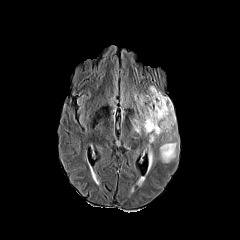
FLAIR MRI.
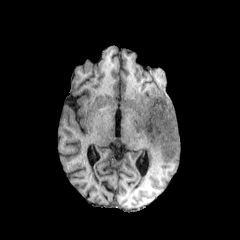
T1-weighted MR.
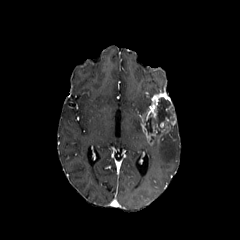
Post-contrast T1-weighted magnetic resonance of the same slice.
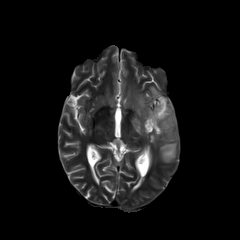
T2-weighted MRI.
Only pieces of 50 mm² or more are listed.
peritumoral edema: 160,125,177,162; 135,95,151,115; 149,86,159,97; 132,116,141,134
enhancing tumor: 141,92,176,145
necrotic tumor core: 145,98,172,135